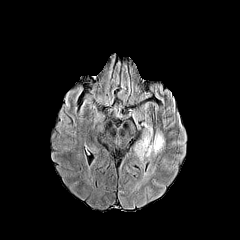
FLAIR MR image.
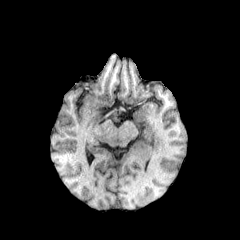
T1-weighted MR image.
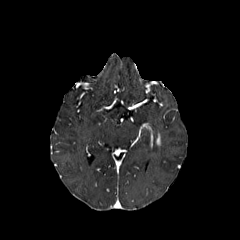
Post-contrast T1-weighted MRI of the same slice.
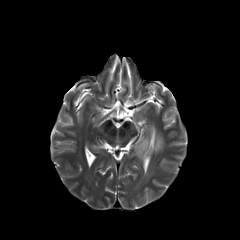
T2-weighted MR.
Head | Axial slice | 240x240 px
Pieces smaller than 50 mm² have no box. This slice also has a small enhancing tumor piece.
peritumoral edema: 134,129,165,160